Image width 240 mm, 1.00 mm slice spacing. 240x240.
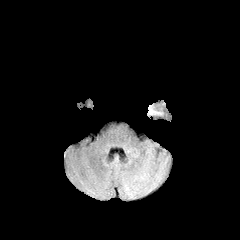
FLAIR MR.
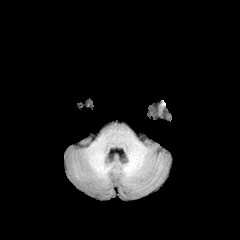
T1-weighted MR.
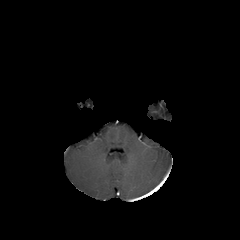
Same slice, post-contrast T1-weighted magnetic resonance.
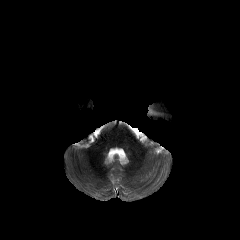
T2-weighted MRI.
peritumoral edema at x1=148 y1=106 x2=158 y2=114